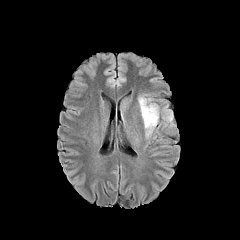
FLAIR magnetic resonance.
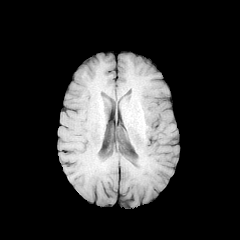
Same slice, T1-weighted magnetic resonance.
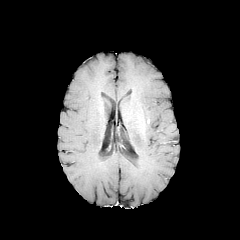
Same slice, post-contrast T1-weighted MR.
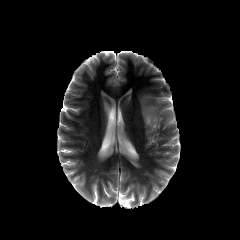
T2-weighted magnetic resonance.
240x240.
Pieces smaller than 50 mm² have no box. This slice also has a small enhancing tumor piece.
Segmented structures:
• peritumoral edema: [x1=139, y1=98, x2=158, y2=132]